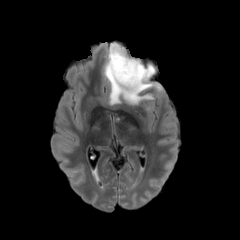
FLAIR MR image.
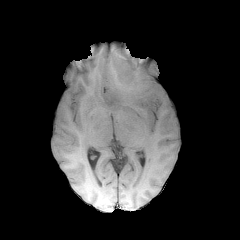
Same slice, T1-weighted MRI.
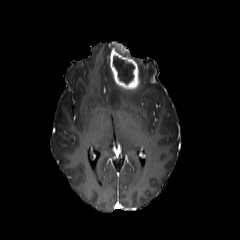
Post-contrast T1-weighted magnetic resonance.
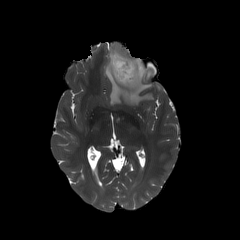
T2-weighted MRI of the same slice.
240x240
enhancing_tumor:
  - [110,45,140,90]
necrotic_tumor_core:
  - [113,56,134,83]
peritumoral_edema:
  - [104,43,161,105]